Slice index 106
FLAIR MR image.
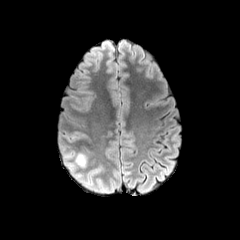
T1-weighted MRI.
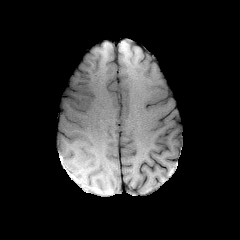
Post-contrast T1-weighted MR.
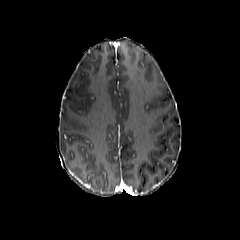
T2-weighted MR.
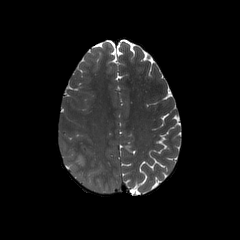
The peritumoral edema is at 75 153 86 167.